FLAIR MRI.
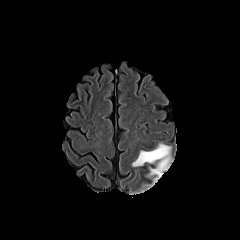
T1-weighted MR.
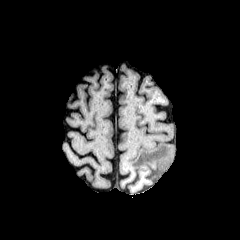
Post-contrast T1-weighted MR image.
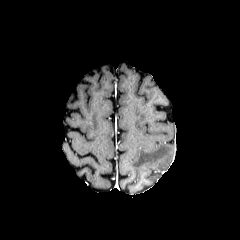
T2-weighted MR.
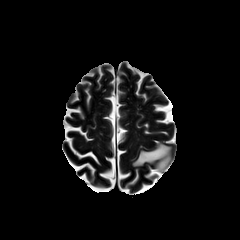
Head; 240x240 px
<segmentation>
  <peritumoral_edema>(132, 143, 171, 185)</peritumoral_edema>
</segmentation>